FLAIR magnetic resonance.
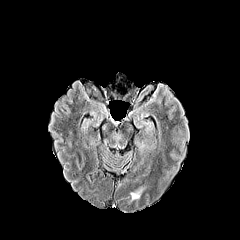
T1-weighted MR.
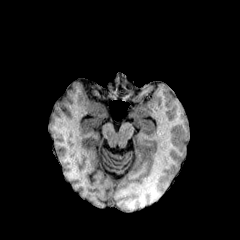
Post-contrast T1-weighted MR.
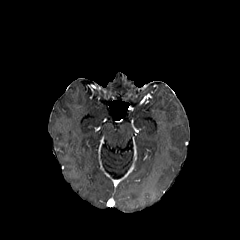
T2-weighted magnetic resonance.
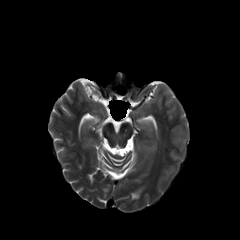
Axial plane.
peritumoral_edema:
  - 131, 190, 141, 199